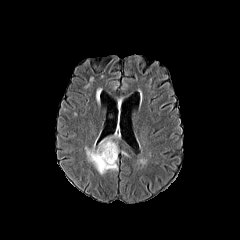
FLAIR MR image.
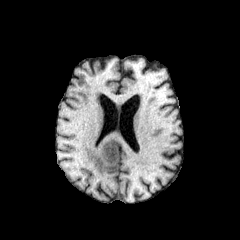
Same slice, T1-weighted MR image.
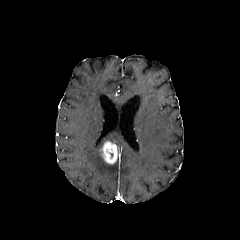
Same slice, post-contrast T1-weighted MR image.
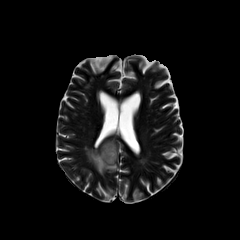
Same slice, T2-weighted MR.
Brain.
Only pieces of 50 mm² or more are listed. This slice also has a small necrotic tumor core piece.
<segmentation>
  <enhancing_tumor>[100,141,117,164]</enhancing_tumor>
  <peritumoral_edema>[85,137,117,174]</peritumoral_edema>
</segmentation>